FLAIR MRI.
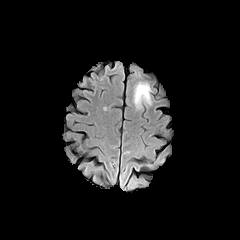
T1-weighted MRI.
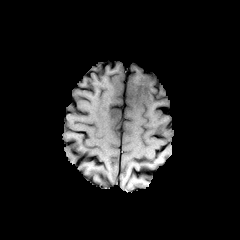
Post-contrast T1-weighted magnetic resonance.
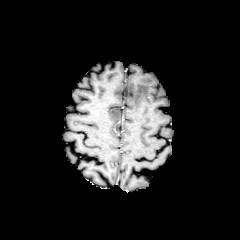
T2-weighted MR image.
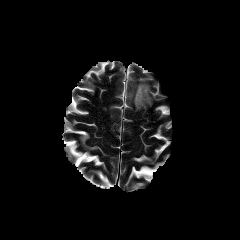
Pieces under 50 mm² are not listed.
<segmentation>
  <peritumoral_edema>133, 81, 152, 109</peritumoral_edema>
</segmentation>